Axial slice; Slice 57/155
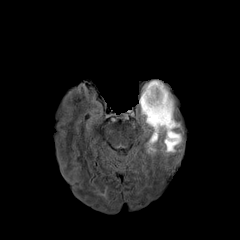
FLAIR MR image.
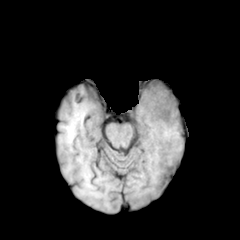
Same slice, T1-weighted magnetic resonance.
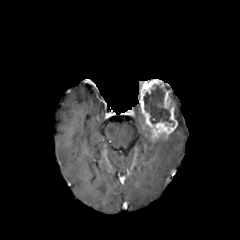
Post-contrast T1-weighted MR of the same slice.
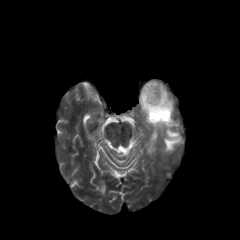
Same slice, T2-weighted MR image.
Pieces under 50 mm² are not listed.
enhancing tumor: region(139, 79, 177, 141) | necrotic tumor core: region(144, 85, 173, 126) | peritumoral edema: region(146, 131, 182, 153)